Axial slice. Image width 240 mm, 1.00 mm slice spacing. 240x240 px.
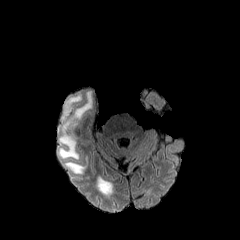
FLAIR MR.
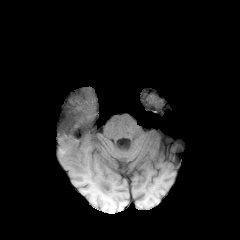
Same slice, T1-weighted MR image.
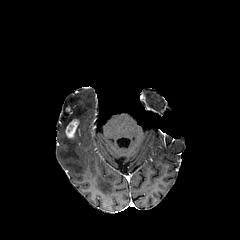
Post-contrast T1-weighted MRI.
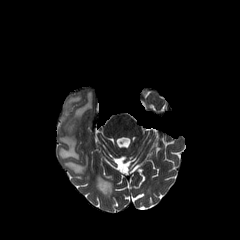
T2-weighted MRI.
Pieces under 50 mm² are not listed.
{
  "peritumoral_edema": [
    "rect(59, 91, 92, 159)",
    "rect(64, 157, 86, 173)",
    "rect(96, 176, 112, 194)"
  ],
  "enhancing_tumor": [
    "rect(66, 119, 79, 138)"
  ]
}